FLAIR MRI.
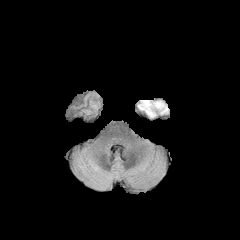
T1-weighted MRI.
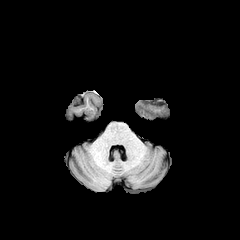
Post-contrast T1-weighted MR.
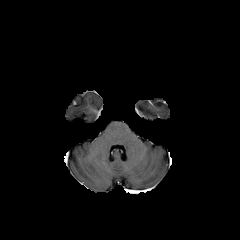
T2-weighted magnetic resonance.
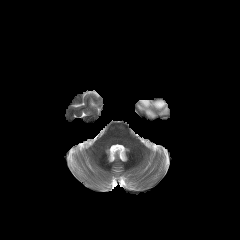
Brain; Axial view
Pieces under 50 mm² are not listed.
peritumoral edema — [x1=138, y1=100, x2=164, y2=116]